Head, Slice 62/155
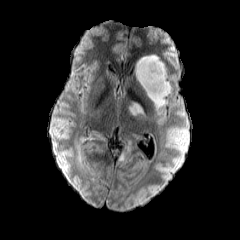
FLAIR MR image.
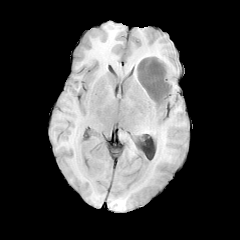
Same slice, T1-weighted MR.
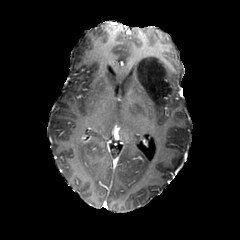
Post-contrast T1-weighted MR of the same slice.
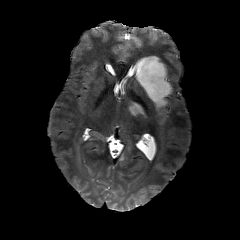
T2-weighted MRI of the same slice.
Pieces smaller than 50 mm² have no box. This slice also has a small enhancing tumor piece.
Segmented structures:
* peritumoral edema: {"x1": 135, "y1": 55, "x2": 171, "y2": 107}, {"x1": 129, "y1": 100, "x2": 144, "y2": 115}